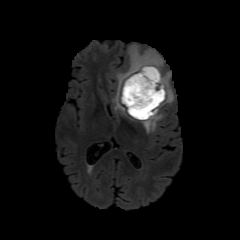
FLAIR magnetic resonance.
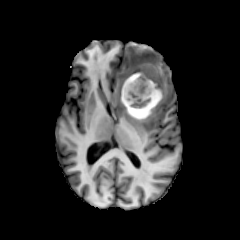
T1-weighted MRI of the same slice.
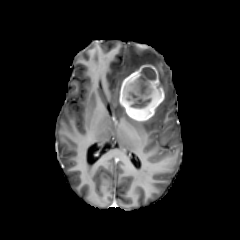
Post-contrast T1-weighted magnetic resonance of the same slice.
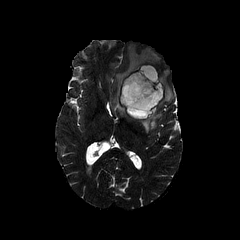
Same slice, T2-weighted magnetic resonance.
Head | 240x240
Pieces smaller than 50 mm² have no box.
The necrotic tumor core is at region(122, 68, 160, 118). The largest enhancing tumor region appears at region(119, 65, 164, 120). The peritumoral edema is located at region(113, 45, 173, 133).